FLAIR MR image.
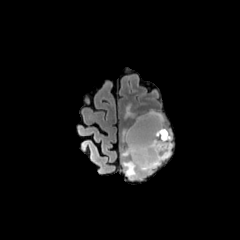
T1-weighted magnetic resonance.
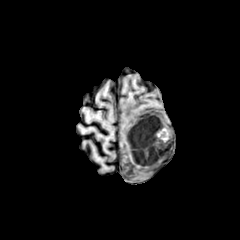
Post-contrast T1-weighted MR.
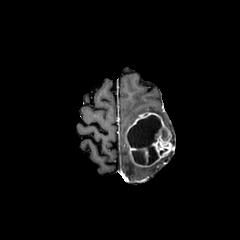
T2-weighted MR.
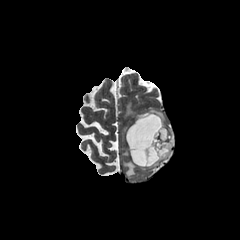
Head. 240x240 px.
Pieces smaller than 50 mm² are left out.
Findings:
* necrotic tumor core: [x1=127, y1=115, x2=168, y2=164]
* enhancing tumor: [x1=125, y1=112, x2=173, y2=167]
* peritumoral edema: [x1=125, y1=104, x2=136, y2=117], [x1=121, y1=147, x2=129, y2=156], [x1=122, y1=153, x2=170, y2=179]